FLAIR MRI.
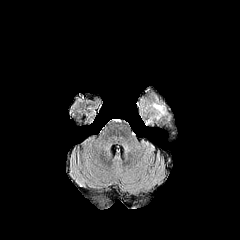
T1-weighted MR image.
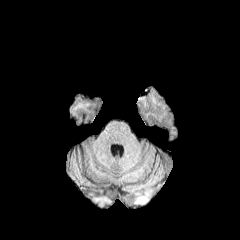
Post-contrast T1-weighted MR.
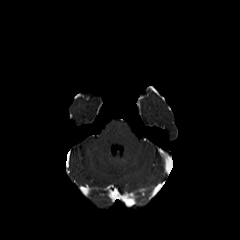
T2-weighted MR image.
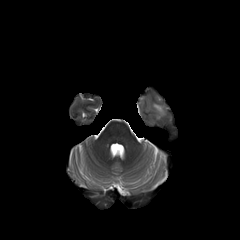
Axial plane | Brain
The peritumoral edema is located at [153, 104, 164, 118].